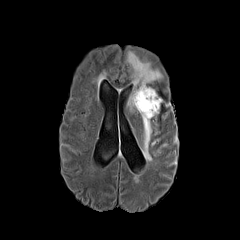
FLAIR MR.
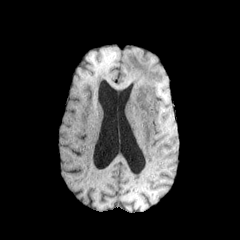
T1-weighted MR image.
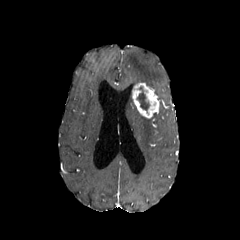
Post-contrast T1-weighted magnetic resonance.
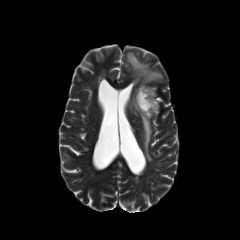
T2-weighted MR image of the same slice.
240x240, Head, Axial view
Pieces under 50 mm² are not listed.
enhancing_tumor:
  - 132 83 162 118
necrotic_tumor_core:
  - 137 87 149 114
peritumoral_edema:
  - 127 51 162 85
  - 127 92 135 110
  - 140 114 152 161